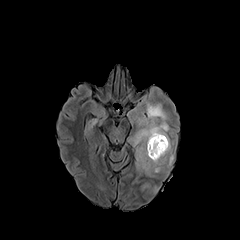
FLAIR magnetic resonance.
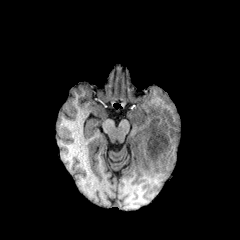
T1-weighted MR of the same slice.
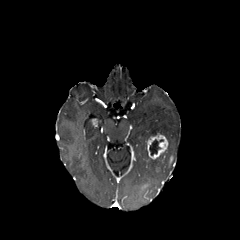
Post-contrast T1-weighted MRI.
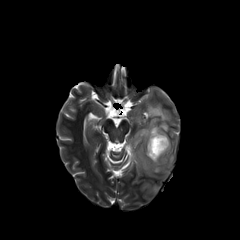
T2-weighted magnetic resonance of the same slice.
240x240; Axial plane
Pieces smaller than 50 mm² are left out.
Segmented structures:
* peritumoral edema: (132, 86, 176, 199)
* necrotic tumor core: (149, 139, 163, 155)
* enhancing tumor: (147, 133, 168, 159)